Slice 120 of 155. Axial plane.
FLAIR MRI.
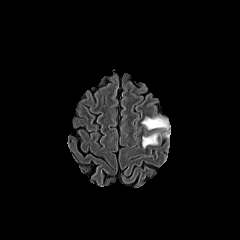
T1-weighted magnetic resonance.
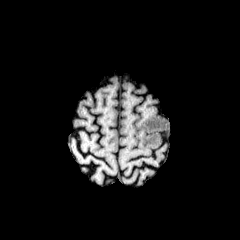
Post-contrast T1-weighted magnetic resonance.
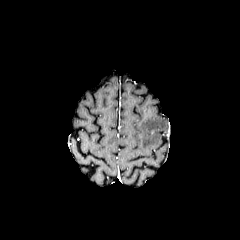
T2-weighted MR.
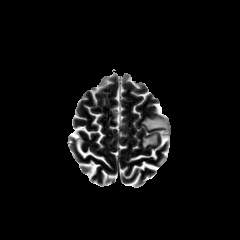
2 peritumoral edema regions are bounded by box=[142, 133, 158, 147]; box=[142, 117, 168, 129].